FLAIR MR.
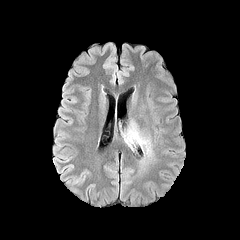
T1-weighted MR.
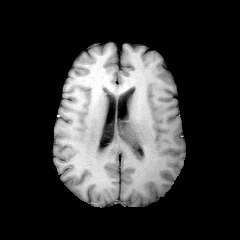
Post-contrast T1-weighted MR.
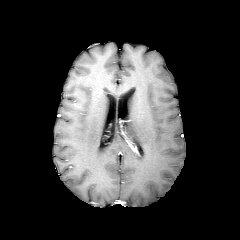
T2-weighted MRI.
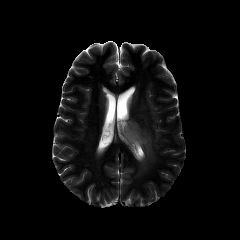
240x240 px
The peritumoral edema is located at 126 120 153 163.